Head | Slice 49 of 155 | 240x240 | Axial slice
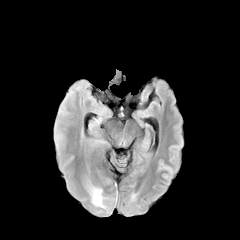
FLAIR MR image.
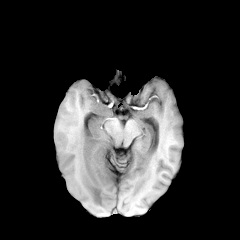
Same slice, T1-weighted MR image.
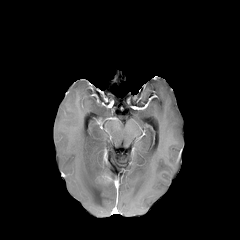
Same slice, post-contrast T1-weighted magnetic resonance.
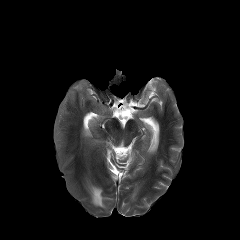
T2-weighted MRI of the same slice.
peritumoral edema: bounding box bbox(88, 185, 105, 207)